FLAIR magnetic resonance.
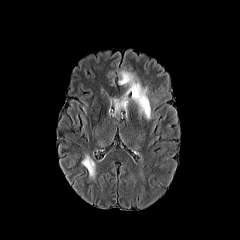
T1-weighted MR image.
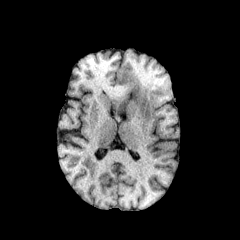
Post-contrast T1-weighted MRI.
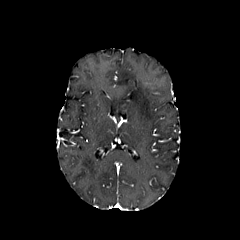
T2-weighted MR.
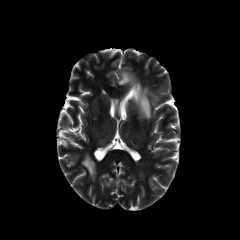
Axial slice. Head.
2 peritumoral edema regions appear at [x1=81, y1=154, x2=97, y2=181], [x1=114, y1=65, x2=151, y2=120].